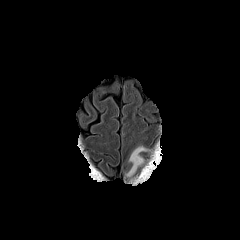
FLAIR MR.
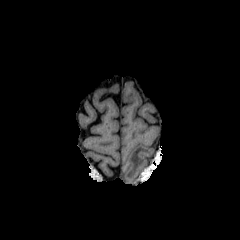
T1-weighted magnetic resonance of the same slice.
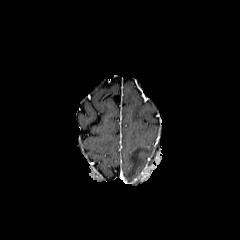
Same slice, post-contrast T1-weighted magnetic resonance.
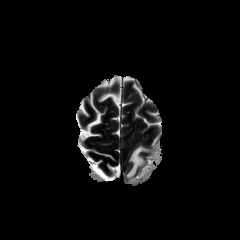
T2-weighted MR.
Head; Axial view; 240x240 px
peritumoral edema at (left=125, top=146, right=150, bottom=176)